FLAIR magnetic resonance.
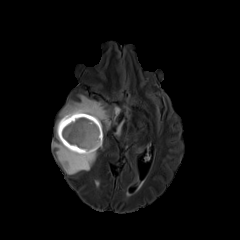
T1-weighted MRI.
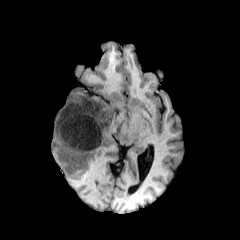
Post-contrast T1-weighted MR image.
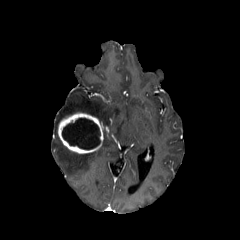
T2-weighted MRI.
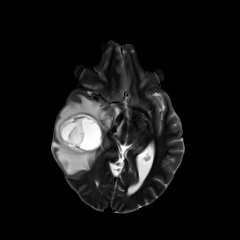
240x240. Brain.
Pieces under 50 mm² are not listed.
Findings:
* necrotic tumor core: (x1=62, y1=118, x2=100, y2=149)
* enhancing tumor: (x1=58, y1=112, x2=103, y2=153)
* peritumoral edema: (x1=113, y1=106, x2=120, y2=121), (x1=52, y1=95, x2=110, y2=174), (x1=115, y1=121, x2=123, y2=135)